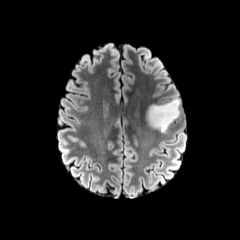
FLAIR MR.
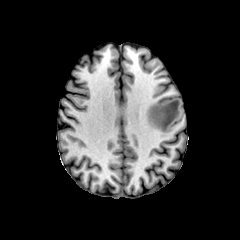
Same slice, T1-weighted magnetic resonance.
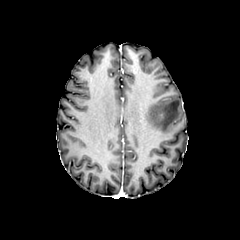
Post-contrast T1-weighted MRI.
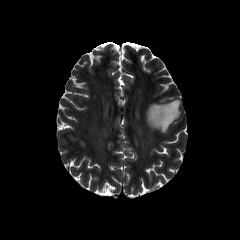
Same slice, T2-weighted MR.
Head
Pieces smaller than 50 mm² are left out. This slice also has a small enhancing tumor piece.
peritumoral edema — (left=147, top=99, right=180, bottom=132)